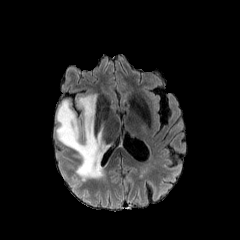
FLAIR magnetic resonance.
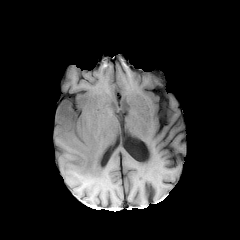
T1-weighted MR image.
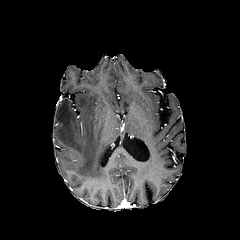
Post-contrast T1-weighted MR image.
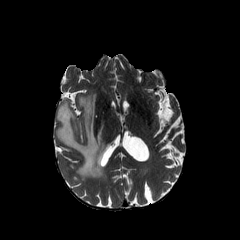
Same slice, T2-weighted MR.
Brain; Axial plane
peritumoral edema: (x1=56, y1=93, x2=109, y2=180)